Brain, Slice 76 of 155, Axial view
FLAIR MR image.
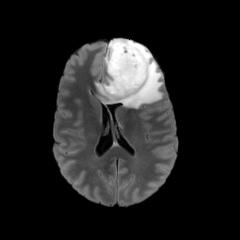
T1-weighted magnetic resonance.
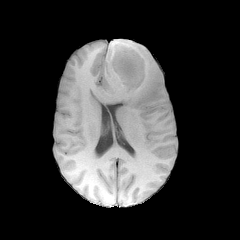
Post-contrast T1-weighted MR image.
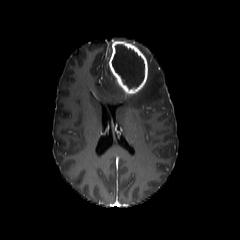
T2-weighted MR image.
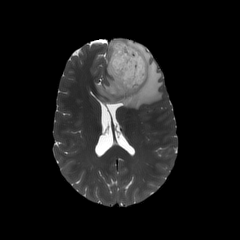
Segmented structures:
- peritumoral edema: x1=94, y1=38, x2=163, y2=108
- necrotic tumor core: x1=112, y1=44, x2=144, y2=88
- enhancing tumor: x1=108, y1=41, x2=148, y2=95